Brain
FLAIR MRI.
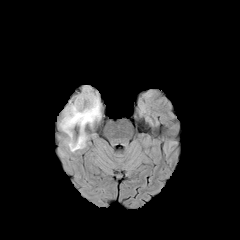
T1-weighted MRI.
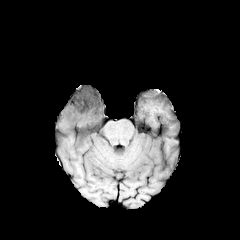
Post-contrast T1-weighted MRI.
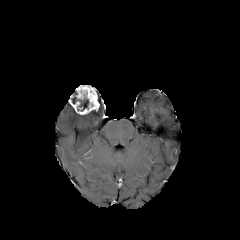
T2-weighted magnetic resonance.
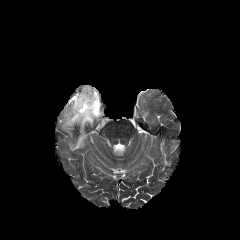
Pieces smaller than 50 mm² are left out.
* peritumoral edema: <box>60,103,101,151</box>
* enhancing tumor: <box>68,85,99,114</box>
* necrotic tumor core: <box>80,99,88,109</box>